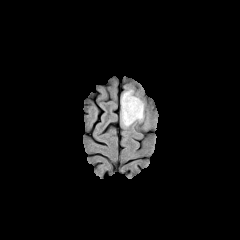
FLAIR MR.
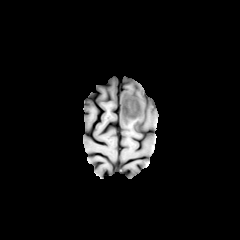
Same slice, T1-weighted MRI.
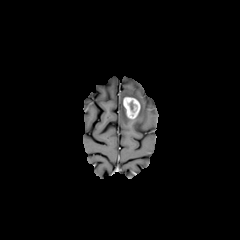
Post-contrast T1-weighted MR.
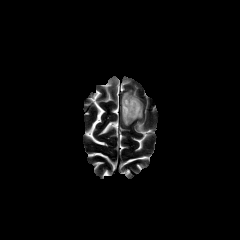
T2-weighted MR.
Brain; Axial slice
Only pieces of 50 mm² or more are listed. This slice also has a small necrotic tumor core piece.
The peritumoral edema is at {"x1": 121, "y1": 89, "x2": 143, "y2": 127}. The enhancing tumor appears at {"x1": 123, "y1": 97, "x2": 140, "y2": 119}.